FLAIR MR.
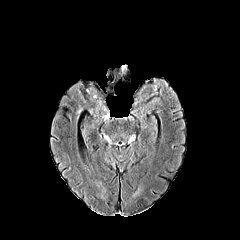
T1-weighted magnetic resonance.
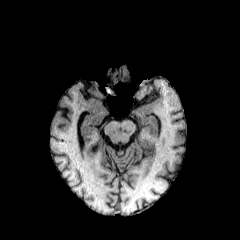
Post-contrast T1-weighted magnetic resonance.
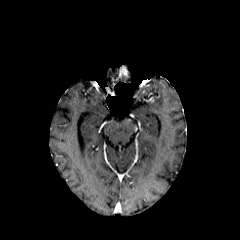
T2-weighted MRI.
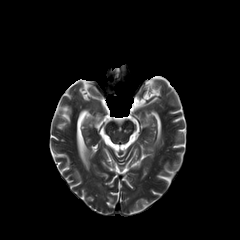
Axial plane
enhancing tumor — 120:66:126:75